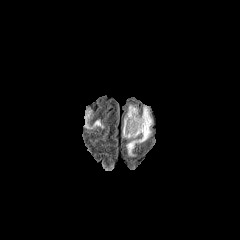
FLAIR MR image.
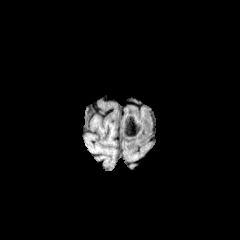
T1-weighted MR of the same slice.
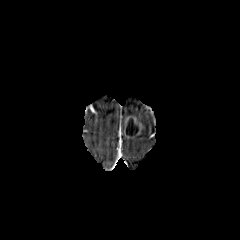
Post-contrast T1-weighted MR.
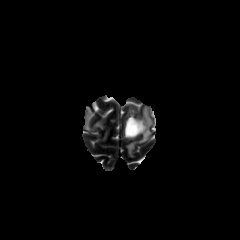
T2-weighted MRI of the same slice.
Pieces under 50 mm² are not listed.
Annotated regions:
• peritumoral edema: x1=126, y1=106, x2=151, y2=155
• enhancing tumor: x1=124, y1=115, x2=144, y2=138
• necrotic tumor core: x1=126, y1=118, x2=138, y2=136